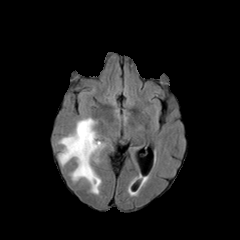
FLAIR MR.
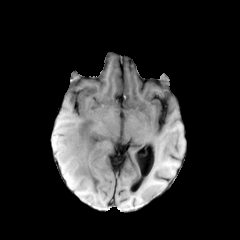
T1-weighted MR.
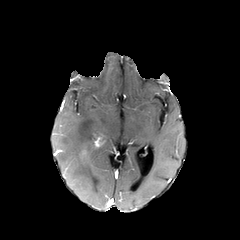
Post-contrast T1-weighted MRI.
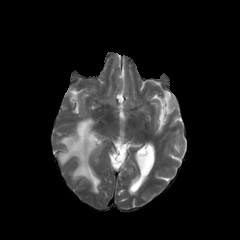
T2-weighted MR image.
Brain
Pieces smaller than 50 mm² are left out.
The largest enhancing tumor region lies within 94,137,102,147. The largest peritumoral edema region is at 58,117,104,193.